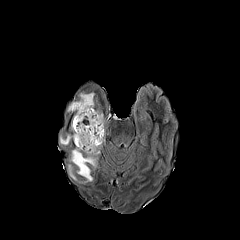
FLAIR MR image.
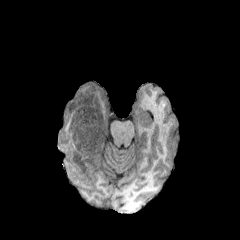
T1-weighted MR image of the same slice.
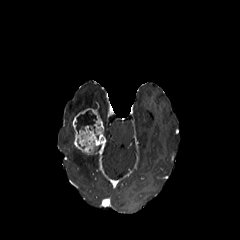
Post-contrast T1-weighted MRI of the same slice.
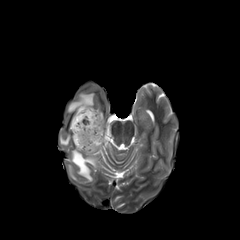
T2-weighted MR image.
Axial slice | Head
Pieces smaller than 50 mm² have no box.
The largest necrotic tumor core region lies within <box>75,110,96,132</box>. The enhancing tumor appears at <box>72,108,105,154</box>. The 4 largest peritumoral edema regions appear at <box>71,148,96,182</box>, <box>67,92,94,115</box>, <box>68,165,77,180</box>, <box>59,134,74,145</box>.